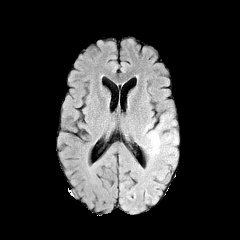
FLAIR MR.
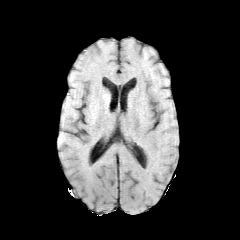
T1-weighted MR image.
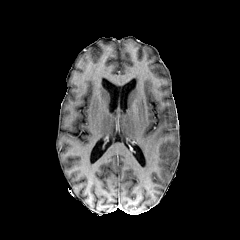
Post-contrast T1-weighted magnetic resonance.
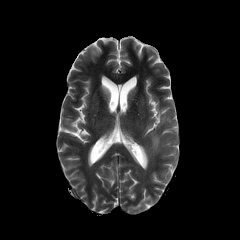
T2-weighted magnetic resonance.
Brain.
peritumoral edema — (x1=149, y1=132, x2=159, y2=154)